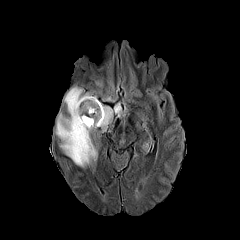
FLAIR MR image.
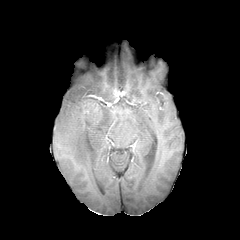
Same slice, T1-weighted MRI.
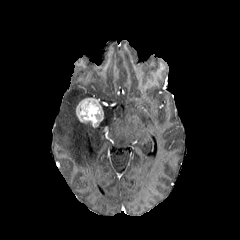
Post-contrast T1-weighted MR image.
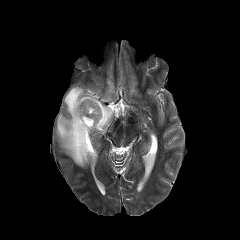
T2-weighted MRI.
Axial slice
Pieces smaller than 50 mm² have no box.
enhancing tumor: [76,98,103,127] | peritumoral edema: [56,86,122,167], [102,94,112,100]